FLAIR MR.
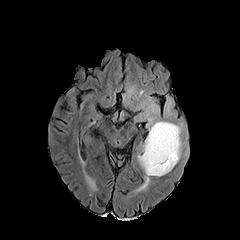
T1-weighted MR image.
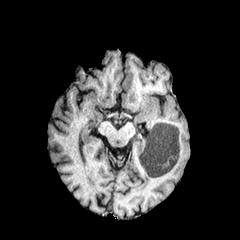
Post-contrast T1-weighted magnetic resonance.
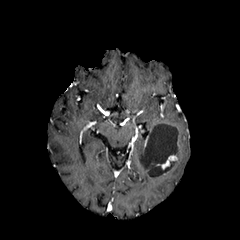
T2-weighted MR.
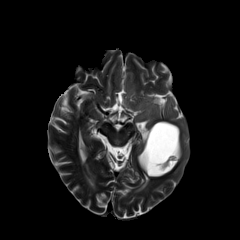
Axial view; Head
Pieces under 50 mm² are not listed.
peritumoral edema: l=144, t=99, r=182, b=172; l=137, t=142, r=166, b=189 | enhancing tumor: l=156, t=135, r=180, b=169 | necrotic tumor core: l=141, t=123, r=178, b=175